FLAIR MR image.
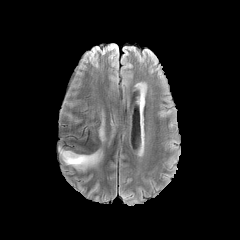
T1-weighted MRI.
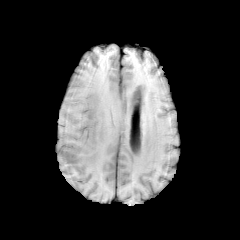
Post-contrast T1-weighted magnetic resonance.
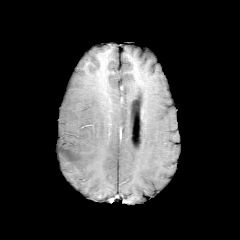
T2-weighted MR.
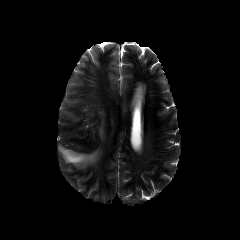
Head, Axial view
peritumoral edema = x1=99, y1=113, x2=104, y2=140; x1=58, y1=146, x2=101, y2=169